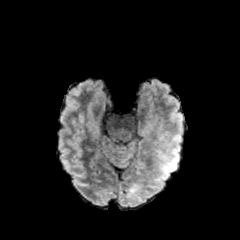
FLAIR MR.
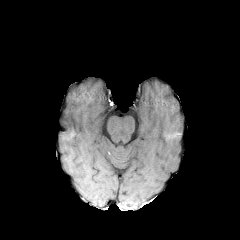
T1-weighted MR image of the same slice.
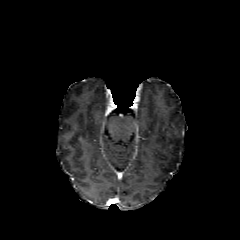
Post-contrast T1-weighted magnetic resonance.
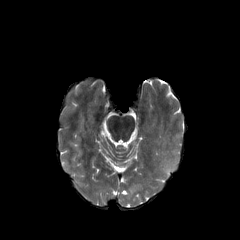
T2-weighted MR image of the same slice.
240x240 px.
• peritumoral edema: 170, 137, 182, 149; 156, 151, 178, 173